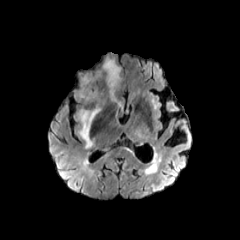
FLAIR magnetic resonance.
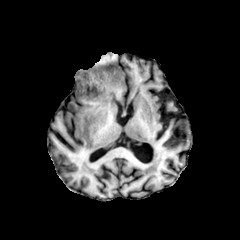
T1-weighted MRI.
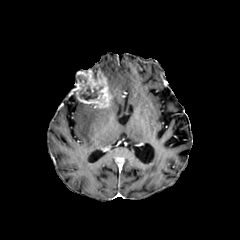
Same slice, post-contrast T1-weighted MR image.
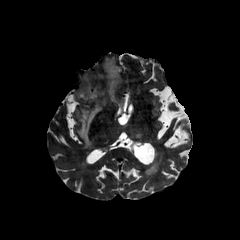
T2-weighted magnetic resonance of the same slice.
Axial plane. 240x240 px.
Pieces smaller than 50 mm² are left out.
2 peritumoral edema regions are bounded by (78,108,100,148), (103,59,120,99). The largest necrotic tumor core region is bounded by (80,87,97,100). The largest enhancing tumor region lies within (75,69,112,108).